Slice 106 of 155. Brain.
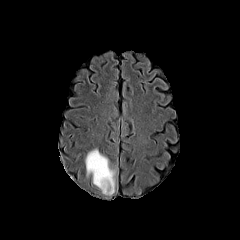
FLAIR MR image.
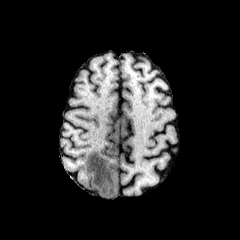
T1-weighted MR image.
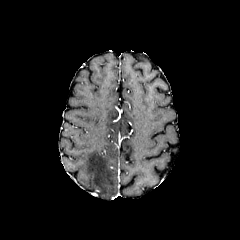
Post-contrast T1-weighted MRI of the same slice.
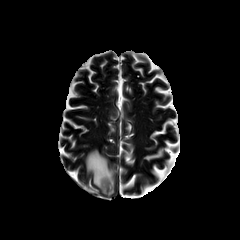
T2-weighted MR image of the same slice.
peritumoral edema at 85 147 116 195